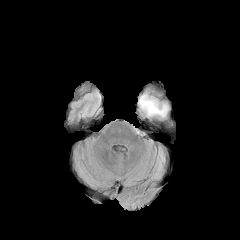
FLAIR MR.
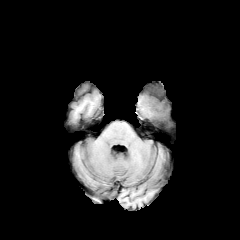
T1-weighted MR.
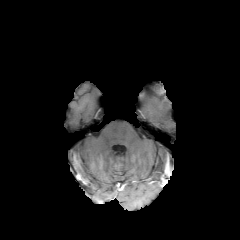
Post-contrast T1-weighted MRI.
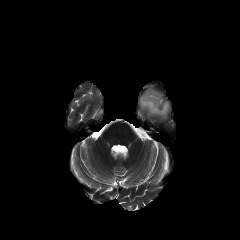
Same slice, T2-weighted MR image.
240x240. Head. Axial view.
The peritumoral edema is bounded by (139, 89, 169, 118).